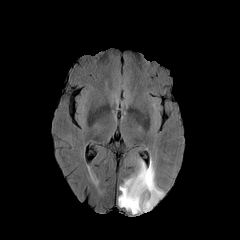
FLAIR MR image.
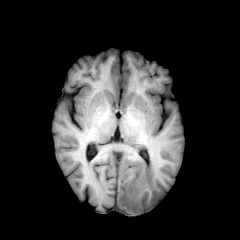
Same slice, T1-weighted MR image.
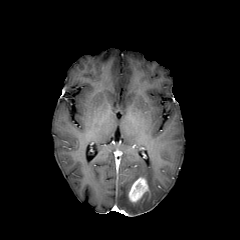
Post-contrast T1-weighted MR image.
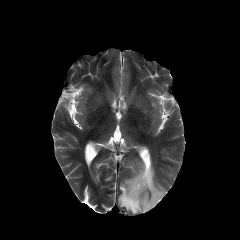
T2-weighted MRI.
240x240
{
  "peritumoral_edema": [
    "rect(118, 160, 164, 214)"
  ],
  "enhancing_tumor": [
    "rect(128, 177, 148, 202)"
  ]
}